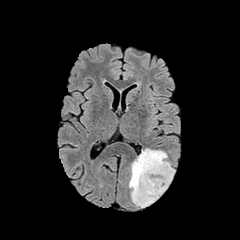
FLAIR MR image.
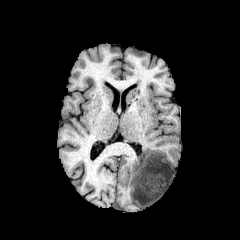
T1-weighted MR image.
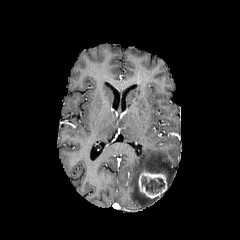
Post-contrast T1-weighted MRI of the same slice.
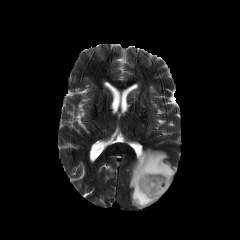
T2-weighted MR of the same slice.
Brain
The enhancing tumor appears at 138:170:167:198. The peritumoral edema appears at 129:148:174:207. The necrotic tumor core is at 141:177:164:193.